Slice 83 of 155. Head. Image width 240 mm.
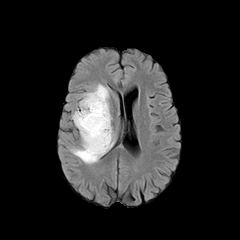
FLAIR MR.
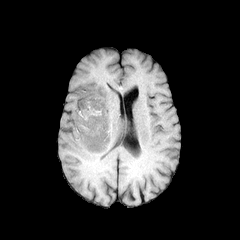
T1-weighted MRI.
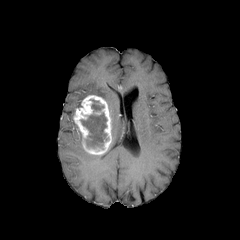
Post-contrast T1-weighted MRI of the same slice.
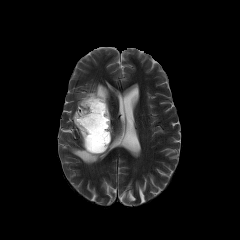
Same slice, T2-weighted MR image.
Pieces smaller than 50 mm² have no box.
Segmented structures:
* enhancing tumor: [73,95,111,154]
* peritumoral edema: [70,131,102,164], [79,83,109,111], [108,127,115,150]
* necrotic tumor core: [91,100,103,112], [80,112,108,148]